Image width 240 mm. Axial view.
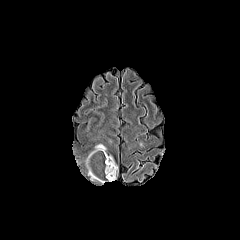
FLAIR MRI.
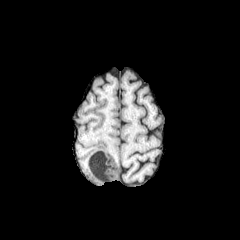
Same slice, T1-weighted MRI.
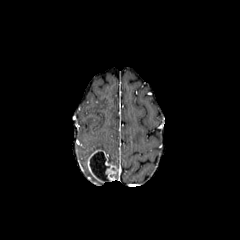
Post-contrast T1-weighted MR of the same slice.
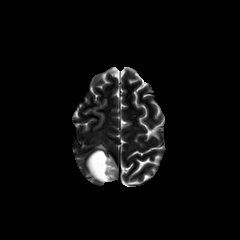
T2-weighted MR image of the same slice.
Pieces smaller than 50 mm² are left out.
enhancing tumor at (left=87, top=149, right=117, bottom=182)
peritumoral edema at (left=94, top=144, right=106, bottom=151)
necrotic tumor core at (left=90, top=152, right=109, bottom=181)